FLAIR magnetic resonance.
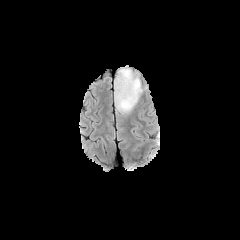
T1-weighted MR image.
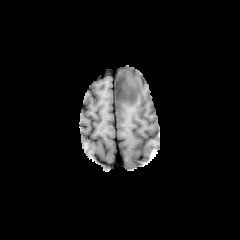
Post-contrast T1-weighted MR.
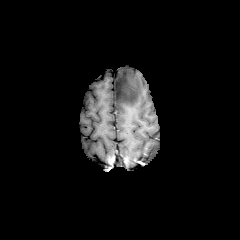
T2-weighted magnetic resonance.
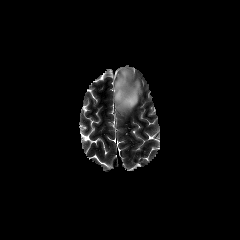
Brain
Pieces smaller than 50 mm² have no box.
The largest peritumoral edema region is at [x1=114, y1=72, x2=142, y2=113]. The necrotic tumor core is at [x1=115, y1=68, x2=137, y2=103].